Axial slice; Image size 240x240
FLAIR magnetic resonance.
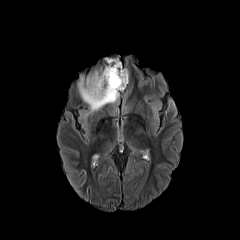
T1-weighted MR.
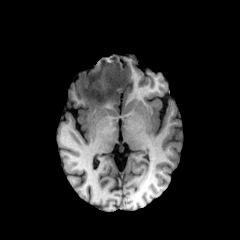
Post-contrast T1-weighted MR image.
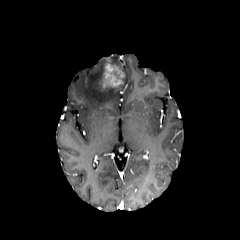
T2-weighted MRI.
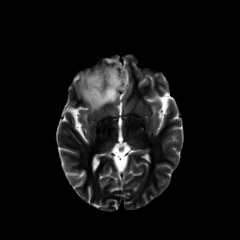
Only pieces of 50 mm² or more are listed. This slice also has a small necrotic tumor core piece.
peritumoral edema: [78,58,128,113] | enhancing tumor: [102,63,124,88]